Head, Slice 90/155
FLAIR MR image.
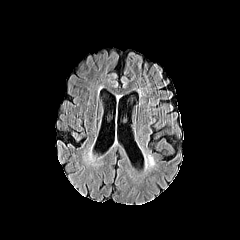
T1-weighted magnetic resonance.
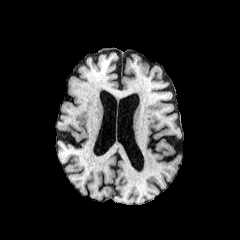
Post-contrast T1-weighted MRI.
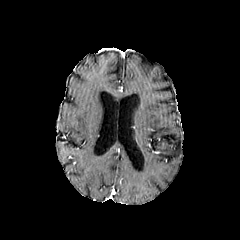
T2-weighted MR image.
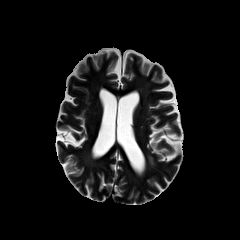
The peritumoral edema is at bbox=[148, 155, 154, 166].